240x240 px, Head
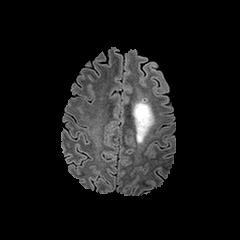
FLAIR MR image.
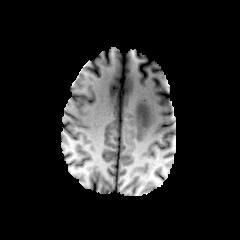
T1-weighted magnetic resonance of the same slice.
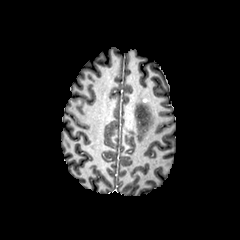
Post-contrast T1-weighted MR image of the same slice.
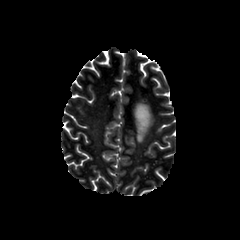
T2-weighted MR.
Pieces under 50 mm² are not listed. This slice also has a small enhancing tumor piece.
The peritumoral edema appears at x1=134, y1=95, x2=153, y2=141.